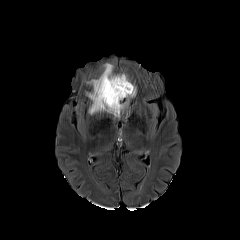
FLAIR MR image.
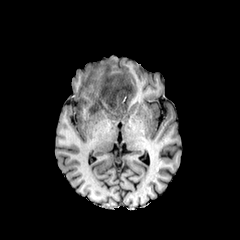
T1-weighted MR image of the same slice.
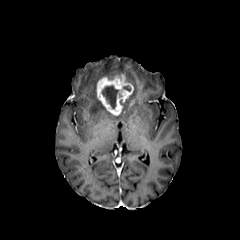
Post-contrast T1-weighted MR image.
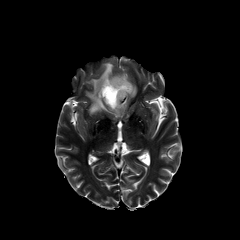
T2-weighted MR image.
Head
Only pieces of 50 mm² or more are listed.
The enhancing tumor is located at (left=96, top=74, right=133, bottom=115). The largest necrotic tumor core region is bounded by (left=102, top=86, right=118, bottom=108). The 2 largest peritumoral edema regions appear at (left=86, top=63, right=114, bottom=113), (left=122, top=86, right=136, bottom=111).